FLAIR MR image.
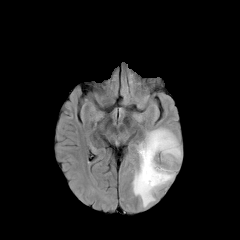
T1-weighted MR image.
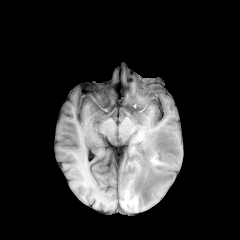
Post-contrast T1-weighted MR.
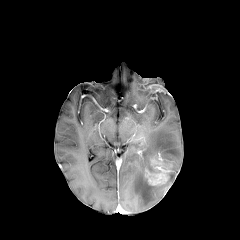
T2-weighted magnetic resonance.
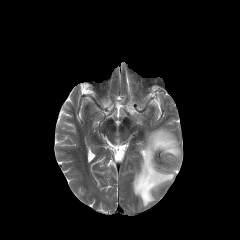
Annotated regions:
- enhancing tumor: region(145, 166, 171, 185)
- peritumoral edema: region(132, 128, 182, 206)